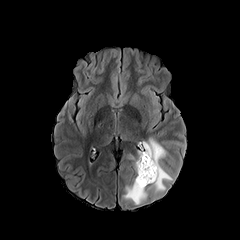
FLAIR MR image.
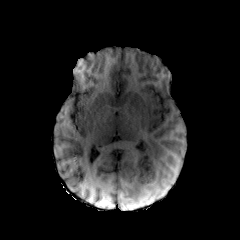
T1-weighted MRI.
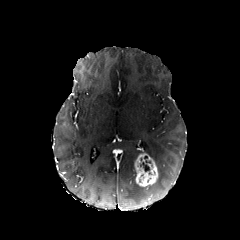
Post-contrast T1-weighted magnetic resonance.
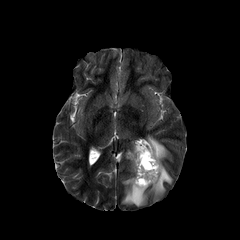
T2-weighted MR image.
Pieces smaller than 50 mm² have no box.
The largest peritumoral edema region lies within 121 137 172 204. The largest necrotic tumor core region is at 140 156 150 171. The enhancing tumor is bounded by 134 152 158 186.